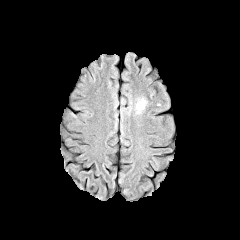
FLAIR MRI.
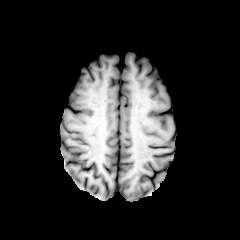
T1-weighted magnetic resonance of the same slice.
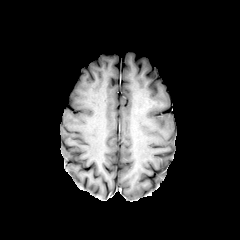
Post-contrast T1-weighted magnetic resonance of the same slice.
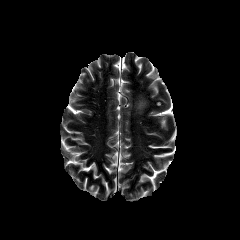
Same slice, T2-weighted MR image.
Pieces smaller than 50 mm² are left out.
peritumoral edema: bounding box [135,98,146,113]